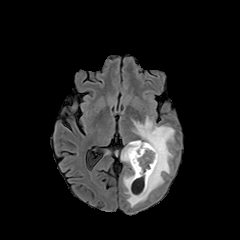
FLAIR MR image.
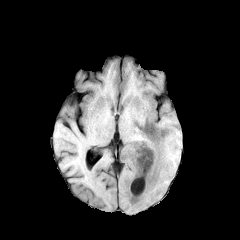
T1-weighted MR.
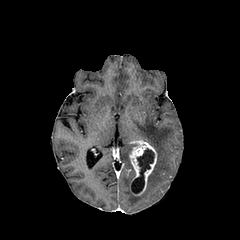
Post-contrast T1-weighted MR image.
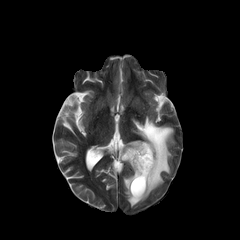
T2-weighted MR image.
Image size 240x240
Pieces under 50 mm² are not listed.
{"enhancing_tumor": ["129:140:157:195"], "peritumoral_edema": ["121:116:174:207"], "necrotic_tumor_core": ["131:148:154:194"]}